240x240 px | Axial slice | Image covers 240 mm x 240 mm | Slice index 64
FLAIR MR.
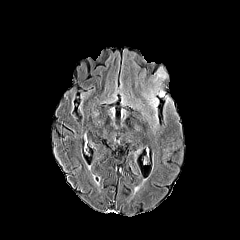
T1-weighted MR image.
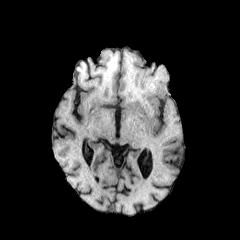
Post-contrast T1-weighted MRI.
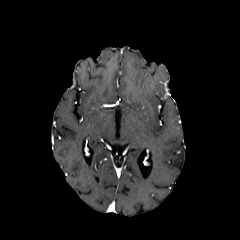
T2-weighted magnetic resonance.
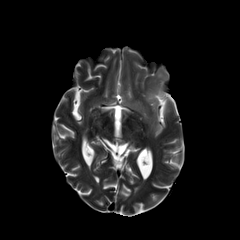
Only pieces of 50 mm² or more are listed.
The 3 largest peritumoral edema regions appear at (156,67,167,80), (148,92,158,114), (154,87,164,97).